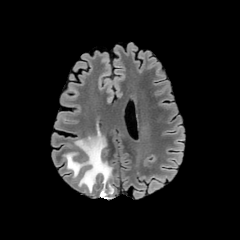
FLAIR MRI.
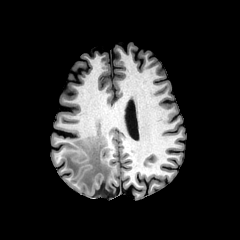
T1-weighted MRI.
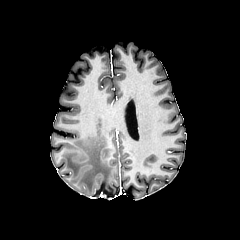
Post-contrast T1-weighted MR image.
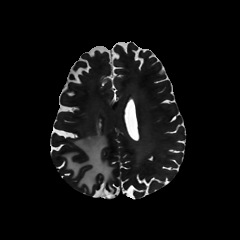
T2-weighted MR of the same slice.
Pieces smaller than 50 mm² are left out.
peritumoral edema: 64,136,113,192